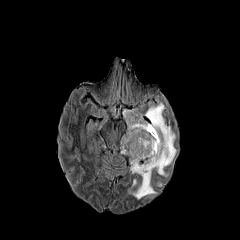
FLAIR magnetic resonance.
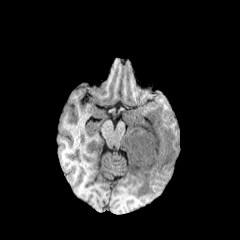
T1-weighted magnetic resonance.
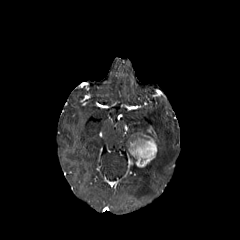
Same slice, post-contrast T1-weighted MRI.
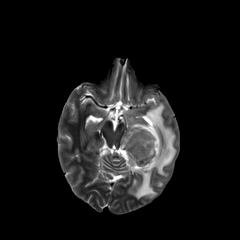
T2-weighted MR.
Brain
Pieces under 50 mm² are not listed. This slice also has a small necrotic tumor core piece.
<segmentation>
  <enhancing_tumor><box>128,133,157,167</box>, <box>147,126,156,138</box></enhancing_tumor>
  <peritumoral_edema><box>121,102,176,199</box></peritumoral_edema>
</segmentation>